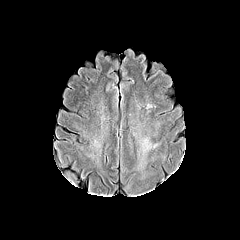
FLAIR MRI.
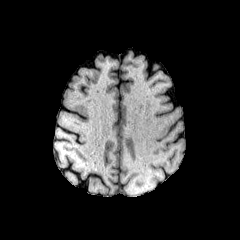
Same slice, T1-weighted MR image.
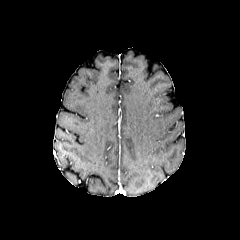
Post-contrast T1-weighted MRI of the same slice.
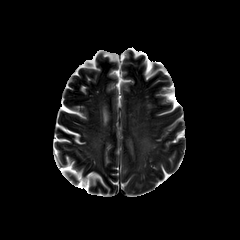
Same slice, T2-weighted magnetic resonance.
Segmented structures:
• peritumoral edema: 142 135 159 151